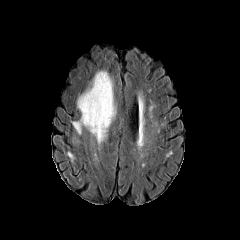
FLAIR MR image.
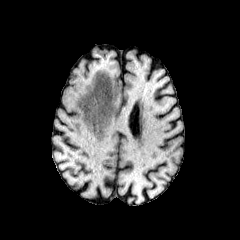
Same slice, T1-weighted MRI.
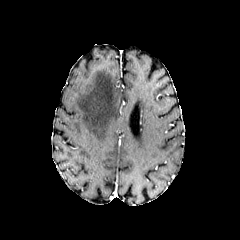
Post-contrast T1-weighted MR of the same slice.
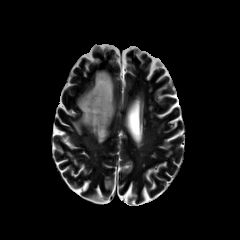
T2-weighted MRI of the same slice.
Head
peritumoral_edema:
  - left=72, top=70, right=116, bottom=142